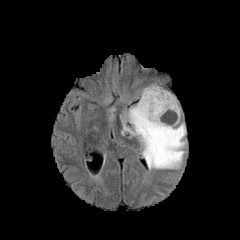
FLAIR magnetic resonance.
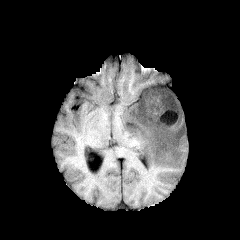
T1-weighted magnetic resonance.
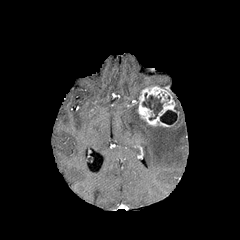
Same slice, post-contrast T1-weighted magnetic resonance.
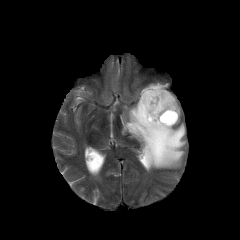
T2-weighted MRI.
Head.
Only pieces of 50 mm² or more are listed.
peritumoral edema at x1=121 y1=95 x2=186 y2=169
necrotic tumor core at x1=160 y1=110 x2=177 y2=124, x1=142 y1=93 x2=163 y2=120
enhancing tumor at x1=137 y1=85 x2=179 y2=126